Slice 106 of 155; Brain; 240x240
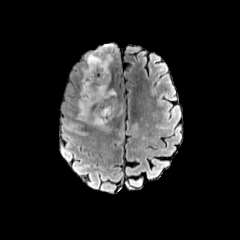
FLAIR MR image.
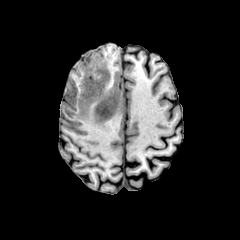
Same slice, T1-weighted MR.
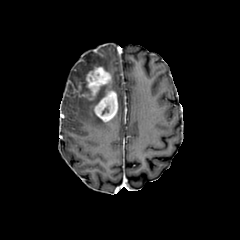
Post-contrast T1-weighted MRI.
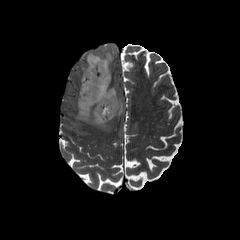
Same slice, T2-weighted MRI.
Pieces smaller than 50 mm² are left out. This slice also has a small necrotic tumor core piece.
Findings:
* enhancing tumor: (left=94, top=90, right=118, bottom=121), (left=82, top=67, right=111, bottom=100)
* peritumoral edema: (left=92, top=112, right=106, bottom=125), (left=78, top=52, right=113, bottom=120)